Image covers 240 mm x 240 mm
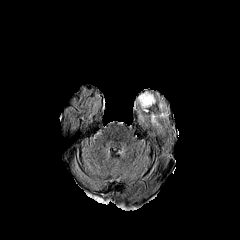
FLAIR magnetic resonance.
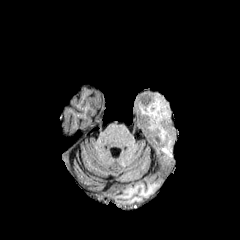
T1-weighted MR image of the same slice.
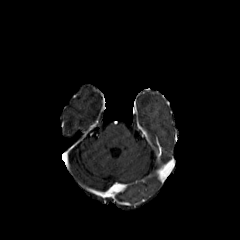
Post-contrast T1-weighted MRI.
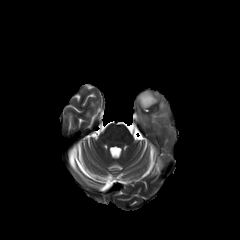
Same slice, T2-weighted MR.
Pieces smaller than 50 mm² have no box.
Findings:
* peritumoral edema: x1=151, y1=114, x2=157, y2=124; x1=138, y1=92, x2=156, y2=111